FLAIR MRI.
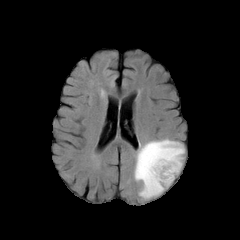
T1-weighted magnetic resonance.
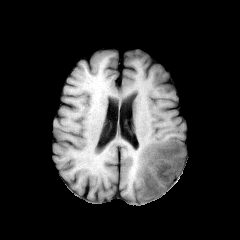
Post-contrast T1-weighted magnetic resonance.
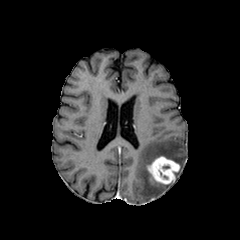
T2-weighted MRI.
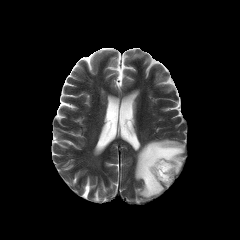
Brain. Axial view.
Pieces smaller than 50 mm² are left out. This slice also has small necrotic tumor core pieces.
peritumoral edema: rect(134, 139, 184, 199) | enhancing tumor: rect(147, 156, 180, 184)